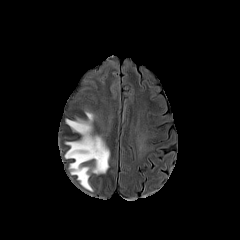
FLAIR MRI.
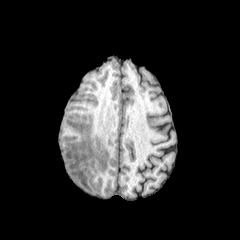
Same slice, T1-weighted magnetic resonance.
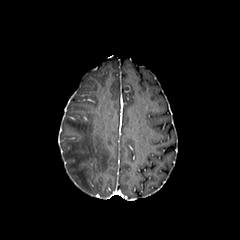
Post-contrast T1-weighted MR.
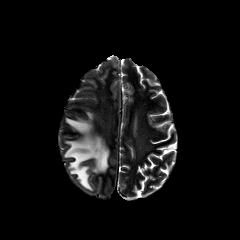
T2-weighted MR image of the same slice.
Head
The peritumoral edema lies within 64:111:109:191.